FLAIR magnetic resonance.
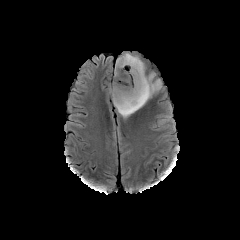
T1-weighted magnetic resonance.
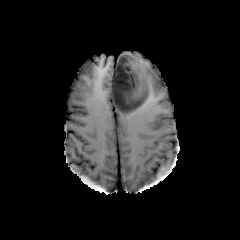
Post-contrast T1-weighted MRI.
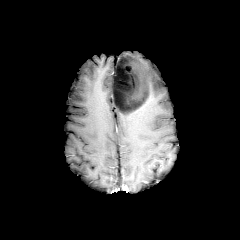
T2-weighted magnetic resonance.
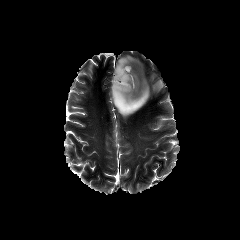
Axial slice
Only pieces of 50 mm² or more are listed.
Segmented structures:
• necrotic tumor core: (112, 57, 148, 112)
• peritumoral edema: (117, 53, 161, 104), (110, 87, 143, 117)